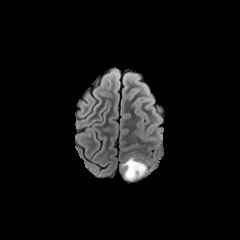
FLAIR MR.
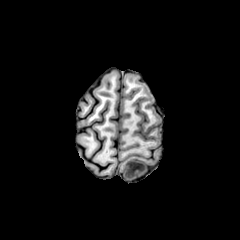
Same slice, T1-weighted MR image.
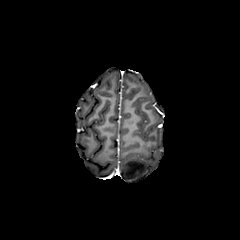
Same slice, post-contrast T1-weighted magnetic resonance.
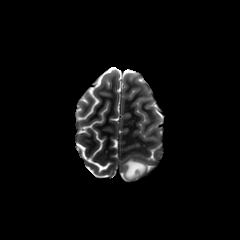
T2-weighted MR image of the same slice.
Findings:
• peritumoral edema: (123,158,146,180)